240x240; Slice 84/155; Axial view
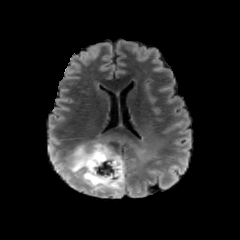
FLAIR MR.
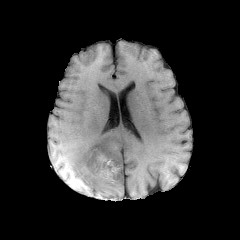
T1-weighted MR image of the same slice.
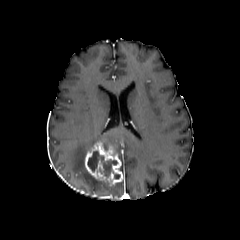
Post-contrast T1-weighted MR.
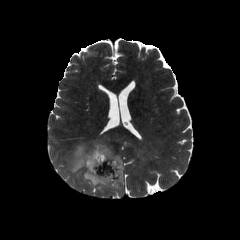
T2-weighted MR image of the same slice.
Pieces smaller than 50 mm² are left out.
<segmentation>
  <necrotic_tumor_core>l=88, t=151, r=116, b=177</necrotic_tumor_core>
  <enhancing_tumor>l=84, t=143, r=123, b=185</enhancing_tumor>
  <peritumoral_edema>l=66, t=140, r=124, b=190</peritumoral_edema>
</segmentation>